Brain, Slice index 79, 240x240
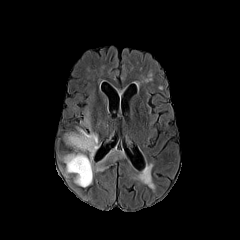
FLAIR MRI.
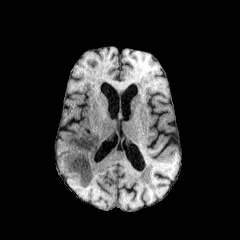
T1-weighted MRI.
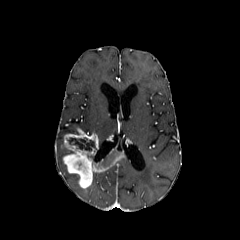
Post-contrast T1-weighted MRI of the same slice.
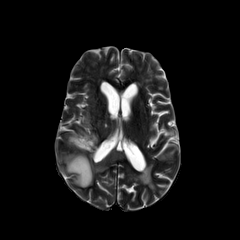
T2-weighted MRI.
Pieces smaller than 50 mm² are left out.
The largest peritumoral edema region lies within [x1=79, y1=114, x2=93, y2=135]. The necrotic tumor core is located at [x1=68, y1=137, x2=95, y2=151]. The largest enhancing tumor region is bounded by [x1=62, y1=128, x2=125, y2=188].